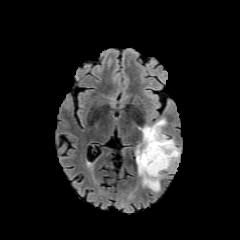
FLAIR MR image.
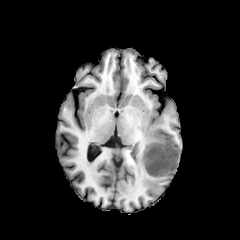
T1-weighted MRI.
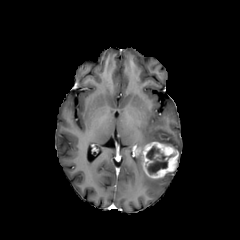
Same slice, post-contrast T1-weighted MR.
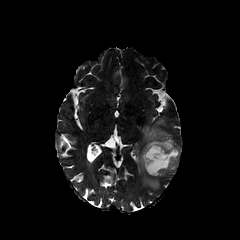
Same slice, T2-weighted magnetic resonance.
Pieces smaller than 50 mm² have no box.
The largest necrotic tumor core region is located at (146,146,167,174). The largest peritumoral edema region is bounded by (136,118,180,190). The largest enhancing tumor region is located at (142,142,178,178).